FLAIR MRI.
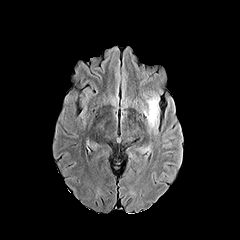
T1-weighted MRI.
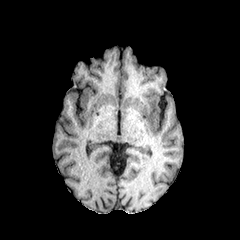
Post-contrast T1-weighted MR image.
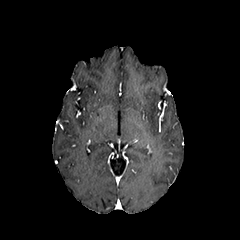
T2-weighted MR.
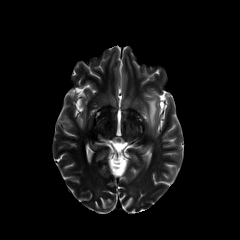
Head.
<segmentation>
  <peritumoral_edema>[x1=144, y1=97, x2=158, y2=127]</peritumoral_edema>
</segmentation>